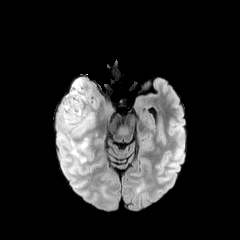
FLAIR MRI.
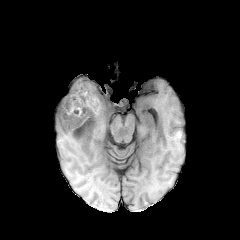
T1-weighted MRI of the same slice.
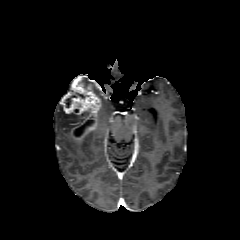
Post-contrast T1-weighted MR.
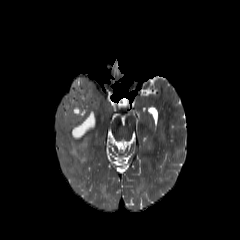
Same slice, T2-weighted MR.
Axial view
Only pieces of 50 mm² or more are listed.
The 2 largest necrotic tumor core regions appear at box=[65, 92, 85, 107]; box=[74, 119, 94, 137]. The enhancing tumor lies within box=[61, 77, 101, 139]. The 2 largest peritumoral edema regions are located at box=[59, 105, 80, 129]; box=[59, 134, 88, 162].